Image covers 240 mm x 240 mm | Slice 63 of 155 | Head
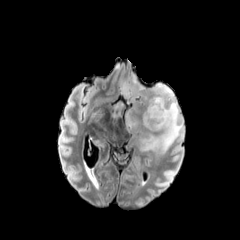
FLAIR MRI.
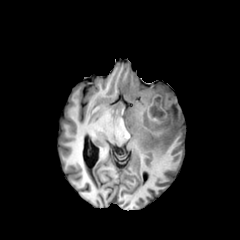
T1-weighted MRI of the same slice.
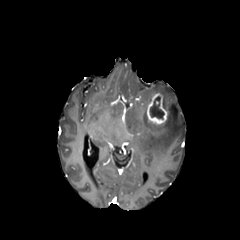
Post-contrast T1-weighted MR image of the same slice.
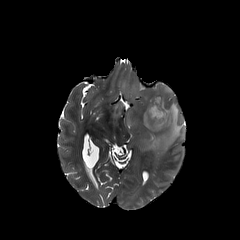
T2-weighted MRI.
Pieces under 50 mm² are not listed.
enhancing tumor: x1=147, y1=93, x2=168, y2=125
necrotic tumor core: x1=150, y1=96, x2=164, y2=118
peritumoral edema: x1=115, y1=80, x2=184, y2=154